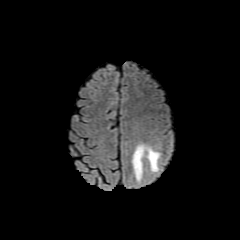
FLAIR MRI.
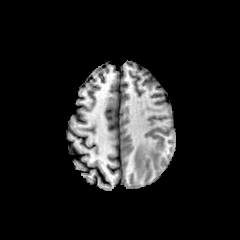
T1-weighted MR image.
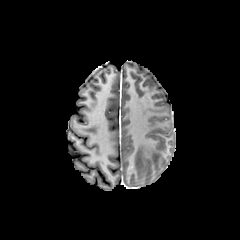
Same slice, post-contrast T1-weighted MRI.
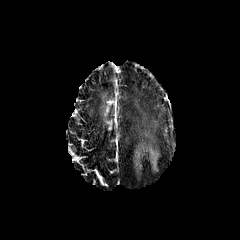
T2-weighted magnetic resonance.
240x240 px
peritumoral edema: <box>132,143,160,180</box>